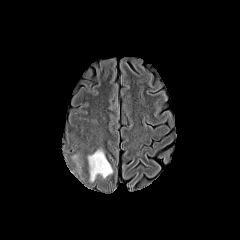
FLAIR MRI.
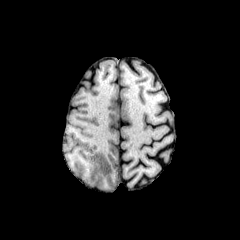
Same slice, T1-weighted magnetic resonance.
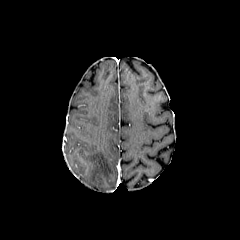
Post-contrast T1-weighted MR image.
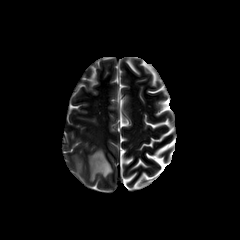
T2-weighted magnetic resonance.
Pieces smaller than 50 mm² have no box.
The largest peritumoral edema region is located at box(88, 149, 112, 181).